Brain, 240x240 px, Axial plane
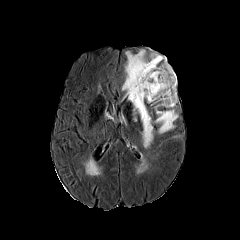
FLAIR MR.
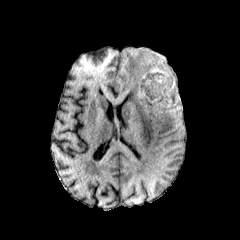
Same slice, T1-weighted MRI.
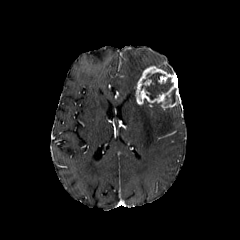
Same slice, post-contrast T1-weighted magnetic resonance.
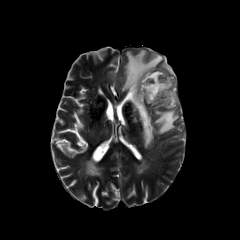
T2-weighted MR.
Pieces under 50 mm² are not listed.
<segmentation>
  <necrotic_tumor_core>(145,73,172,99), (170,89,175,103)</necrotic_tumor_core>
  <enhancing_tumor>(135,66,178,109)</enhancing_tumor>
  <peritumoral_edema>(154,103,178,133), (122,50,172,148)</peritumoral_edema>
</segmentation>